Axial slice | Brain
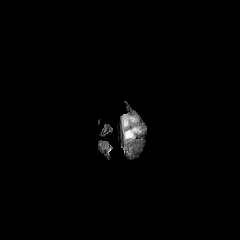
FLAIR magnetic resonance.
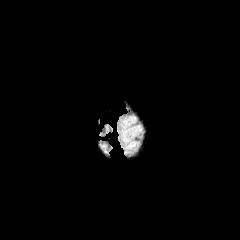
T1-weighted MR.
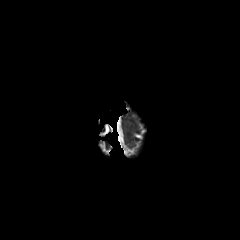
Post-contrast T1-weighted MR of the same slice.
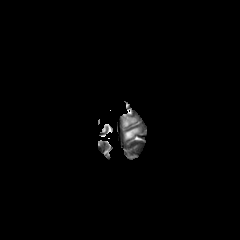
T2-weighted MRI of the same slice.
2 peritumoral edema regions appear at 121 114 138 128, 123 126 141 141.